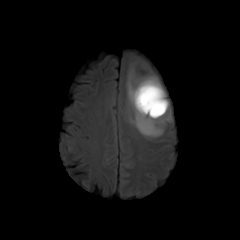
FLAIR MR.
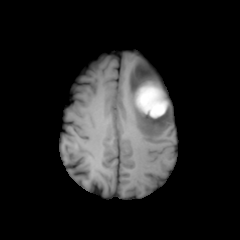
Same slice, T1-weighted magnetic resonance.
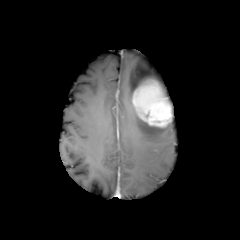
Same slice, post-contrast T1-weighted MRI.
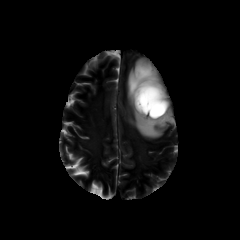
T2-weighted MR.
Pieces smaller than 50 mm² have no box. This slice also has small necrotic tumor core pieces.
peritumoral edema: x1=126 y1=59 x2=169 y2=139 | enhancing tumor: x1=132 y1=78 x2=172 y2=127